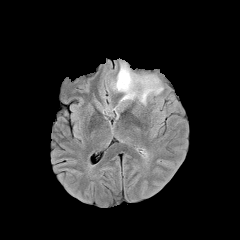
FLAIR magnetic resonance.
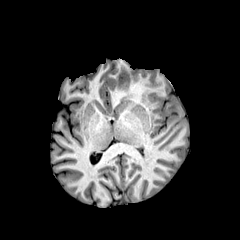
T1-weighted MRI of the same slice.
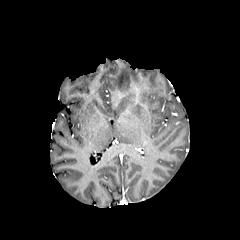
Post-contrast T1-weighted MR.
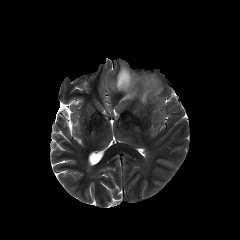
T2-weighted magnetic resonance.
Head.
<segmentation>
  <peritumoral_edema>box=[111, 59, 165, 106]</peritumoral_edema>
</segmentation>